FLAIR magnetic resonance.
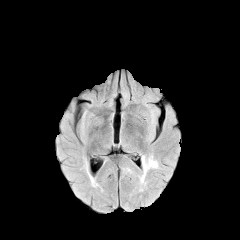
T1-weighted magnetic resonance.
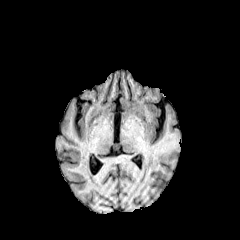
Post-contrast T1-weighted MRI.
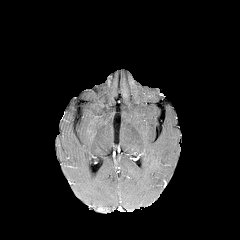
T2-weighted MR.
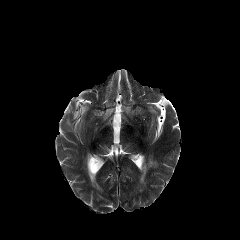
Axial slice
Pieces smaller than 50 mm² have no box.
Findings:
• peritumoral edema: box(139, 156, 158, 185)